FLAIR MR image.
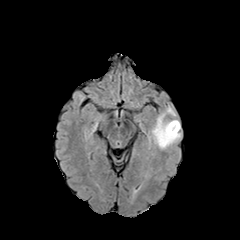
T1-weighted MR image.
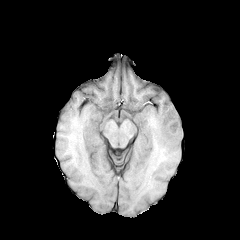
Post-contrast T1-weighted MRI.
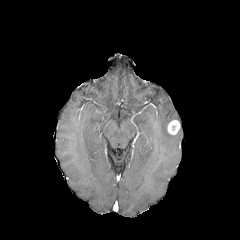
T2-weighted magnetic resonance.
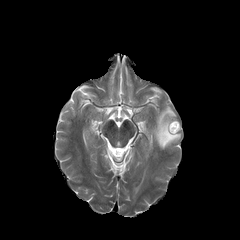
Axial slice | Image size 240x240
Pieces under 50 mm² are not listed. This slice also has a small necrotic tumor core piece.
peritumoral edema: bounding box rect(149, 106, 181, 149)
enhancing tumor: bounding box rect(167, 120, 180, 135)